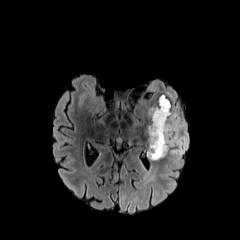
FLAIR MR image.
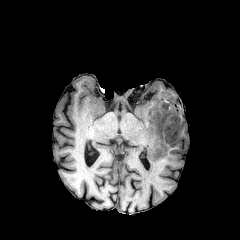
T1-weighted MR image of the same slice.
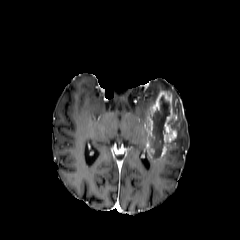
Post-contrast T1-weighted MRI of the same slice.
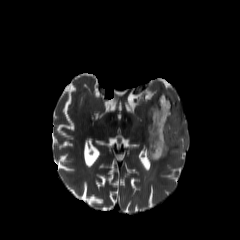
Same slice, T2-weighted MRI.
Brain. 240x240 px.
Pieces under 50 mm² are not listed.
The largest peritumoral edema region is at l=151, t=80, r=189, b=168. The largest necrotic tumor core region appears at l=151, t=96, r=169, b=158. The enhancing tumor is located at l=145, t=90, r=180, b=161.